Slice 59 of 155
FLAIR MRI.
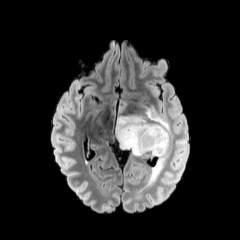
T1-weighted MRI.
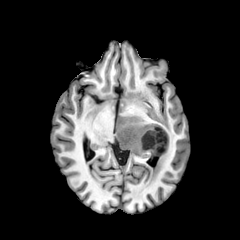
Post-contrast T1-weighted MRI.
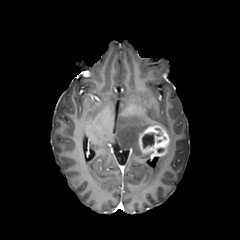
T2-weighted magnetic resonance.
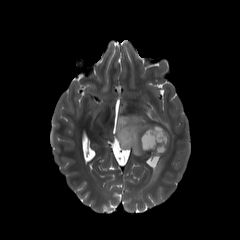
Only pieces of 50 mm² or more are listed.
necrotic tumor core: bounding box (142, 132, 155, 148)
peritumoral edema: bounding box (116, 110, 171, 189)
enhancing tumor: bounding box (138, 125, 169, 156)